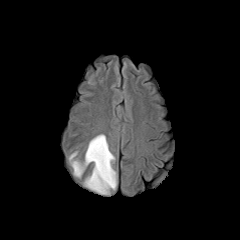
FLAIR MRI.
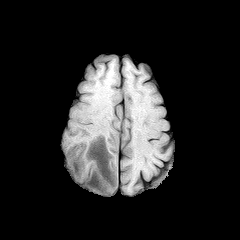
Same slice, T1-weighted MRI.
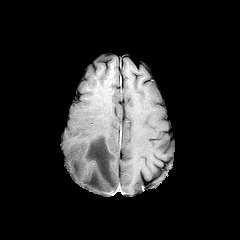
Post-contrast T1-weighted MRI of the same slice.
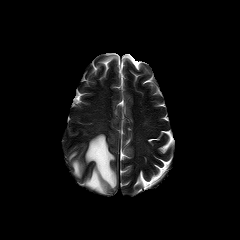
Same slice, T2-weighted MR.
Head; Axial plane
peritumoral edema: bounding box x1=68, y1=134, x2=116, y2=194